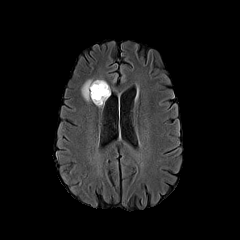
FLAIR magnetic resonance.
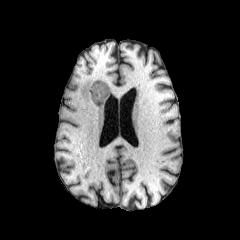
T1-weighted MRI of the same slice.
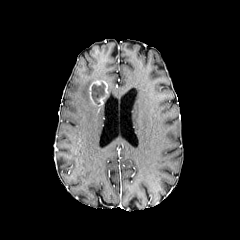
Post-contrast T1-weighted MR image.
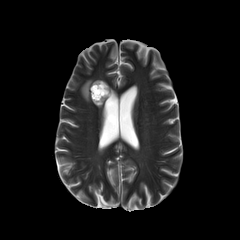
T2-weighted MR image.
240x240
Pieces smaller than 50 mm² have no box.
enhancing_tumor:
  - <box>89,80,108,106</box>
necrotic_tumor_core:
  - <box>91,83,105,104</box>
peritumoral_edema:
  - <box>81,79,92,101</box>